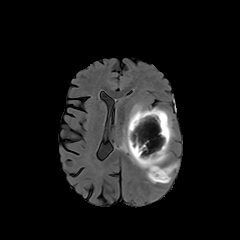
FLAIR MR image.
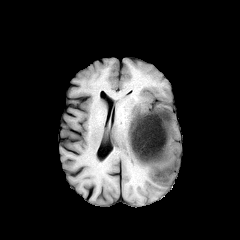
T1-weighted MR.
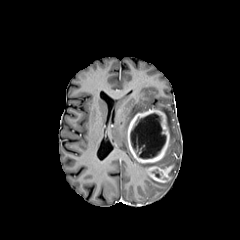
Post-contrast T1-weighted magnetic resonance.
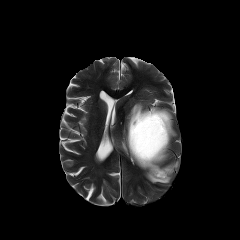
T2-weighted MR of the same slice.
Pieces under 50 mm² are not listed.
The largest enhancing tumor region is bounded by (127,108,174,182). The 3 largest peritumoral edema regions are bounded by (169,161,178,177), (154,107,175,168), (120,103,159,183). The largest necrotic tumor core region is located at (130,113,166,158).